FLAIR MR image.
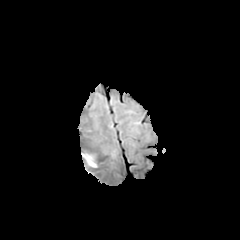
T1-weighted MR.
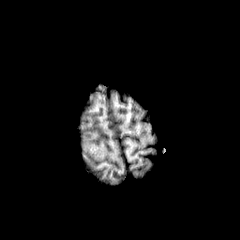
Post-contrast T1-weighted MRI.
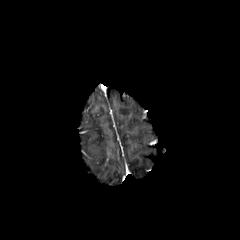
T2-weighted MR image.
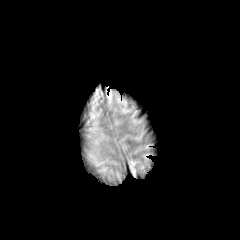
Axial view.
peritumoral edema: bbox(84, 155, 94, 165)